FLAIR MR image.
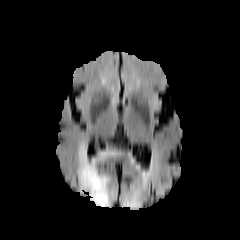
T1-weighted magnetic resonance.
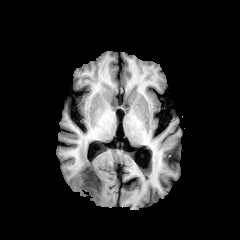
Post-contrast T1-weighted MR image.
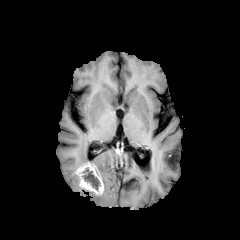
T2-weighted MR image.
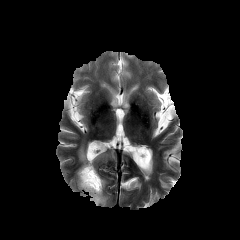
Brain | Axial slice
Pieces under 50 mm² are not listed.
enhancing tumor: region(76, 162, 103, 195)
peritumoral edema: region(89, 174, 112, 206); region(78, 142, 89, 167); region(90, 152, 109, 166)
necrotic tumor core: region(83, 168, 100, 190)